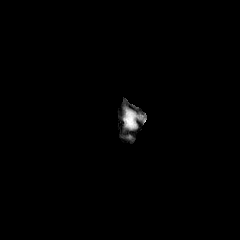
FLAIR MRI.
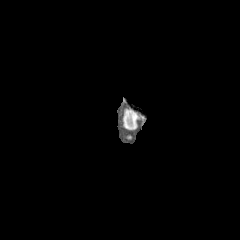
T1-weighted MR.
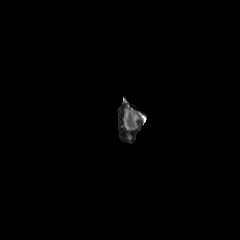
Post-contrast T1-weighted magnetic resonance.
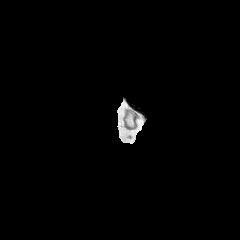
T2-weighted magnetic resonance.
Axial slice; Head
{"peritumoral_edema": ["box(125, 111, 135, 127)"]}